Axial plane. Slice 74/155.
FLAIR MR image.
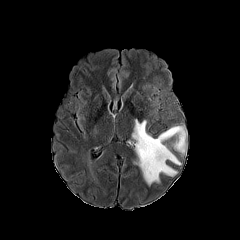
T1-weighted MRI.
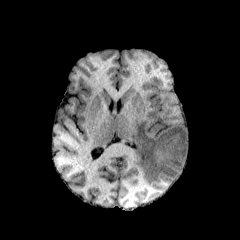
Post-contrast T1-weighted MRI.
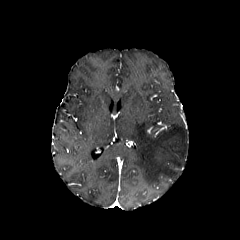
T2-weighted MR image.
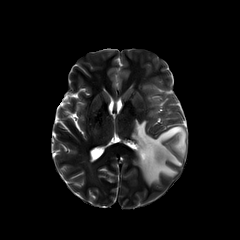
The peritumoral edema is at 132:119:186:185.